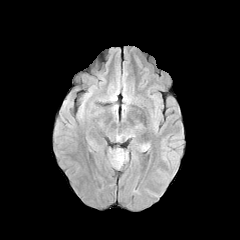
FLAIR MR image.
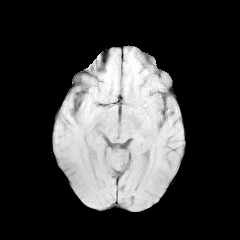
Same slice, T1-weighted magnetic resonance.
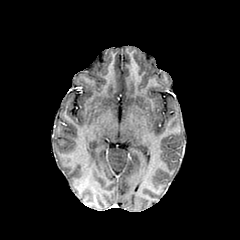
Post-contrast T1-weighted MR.
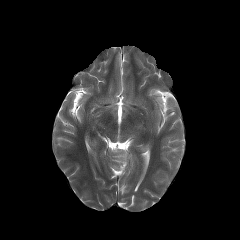
T2-weighted MRI.
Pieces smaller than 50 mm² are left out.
The largest peritumoral edema region is bounded by [110, 149, 127, 168].